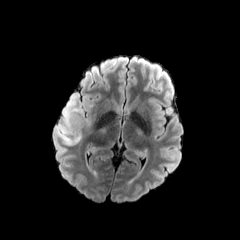
FLAIR MR image.
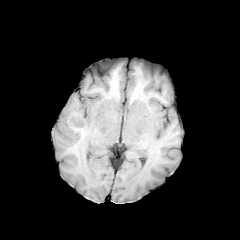
Same slice, T1-weighted magnetic resonance.
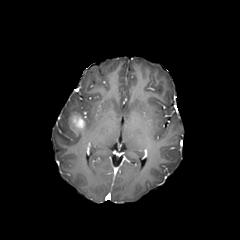
Post-contrast T1-weighted MR image.
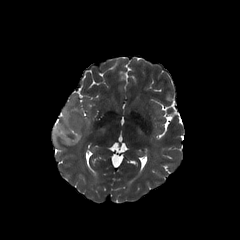
T2-weighted MR of the same slice.
Head, Axial slice
enhancing tumor: (left=69, top=112, right=84, bottom=133) | peritumoral edema: (left=59, top=101, right=81, bottom=145)